FLAIR MRI.
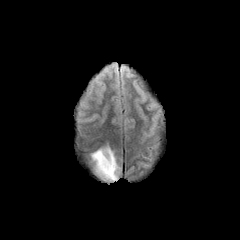
T1-weighted MRI.
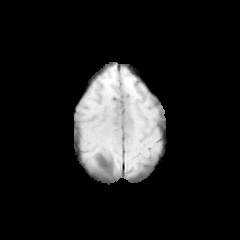
Post-contrast T1-weighted magnetic resonance.
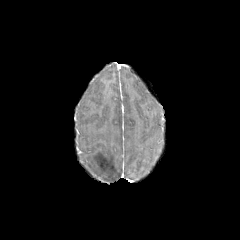
T2-weighted magnetic resonance.
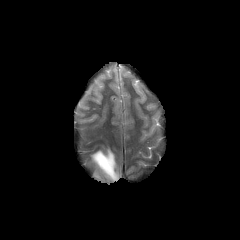
Findings:
* peritumoral edema: [x1=91, y1=146, x2=120, y2=181]